Axial slice
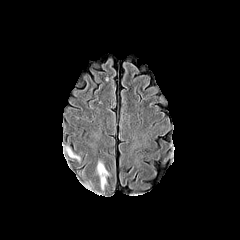
FLAIR MRI.
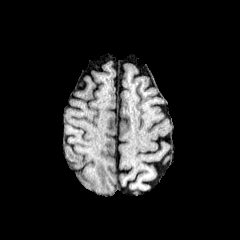
T1-weighted MRI.
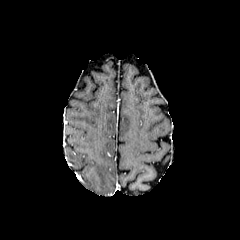
Same slice, post-contrast T1-weighted MRI.
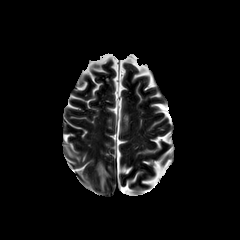
T2-weighted MR image.
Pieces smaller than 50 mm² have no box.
Segmented structures:
• peritumoral edema: <bbox>96, 161, 108, 189</bbox>, <bbox>67, 148, 79, 159</bbox>